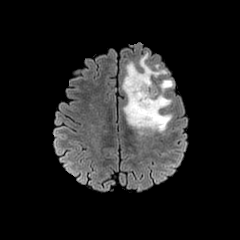
FLAIR magnetic resonance.
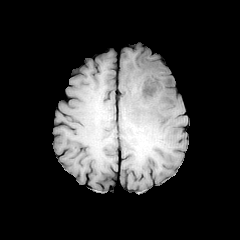
T1-weighted MR image of the same slice.
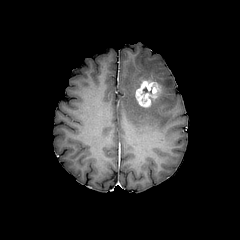
Post-contrast T1-weighted MR.
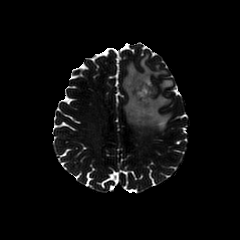
Same slice, T2-weighted MRI.
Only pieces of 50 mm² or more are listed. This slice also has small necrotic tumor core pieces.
peritumoral edema: <bbox>122, 54, 173, 133</bbox>
enhancing tumor: <bbox>135, 78, 161, 107</bbox>